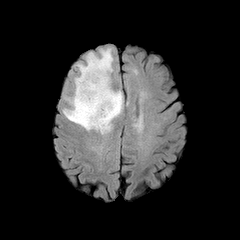
FLAIR MRI.
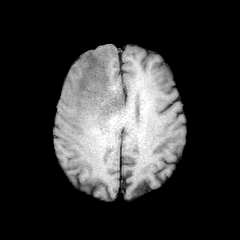
Same slice, T1-weighted magnetic resonance.
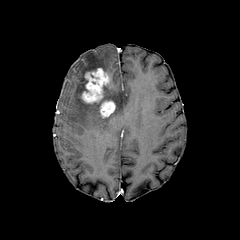
Post-contrast T1-weighted MRI.
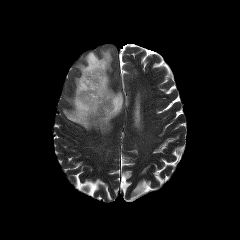
T2-weighted MRI.
240x240 px, Brain, Axial plane
The peritumoral edema is located at {"x1": 63, "y1": 48, "x2": 123, "y2": 133}. 2 enhancing tumor regions are located at {"x1": 80, "y1": 68, "x2": 111, "y2": 103}, {"x1": 99, "y1": 100, "x2": 115, "y2": 117}.